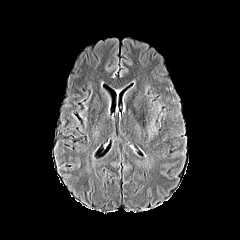
FLAIR magnetic resonance.
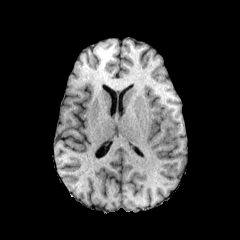
T1-weighted MRI of the same slice.
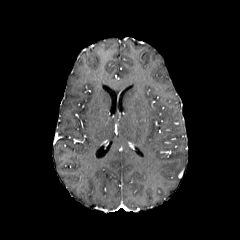
Same slice, post-contrast T1-weighted MR image.
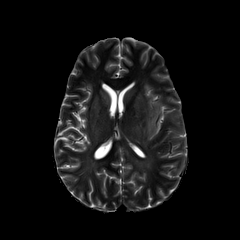
T2-weighted MR image.
Image size 240x240.
Findings:
* peritumoral edema: x1=148, y1=103, x2=159, y2=140